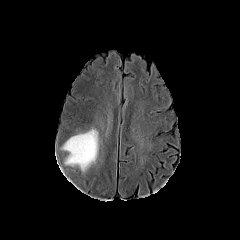
FLAIR MR.
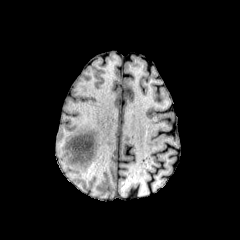
T1-weighted MR image of the same slice.
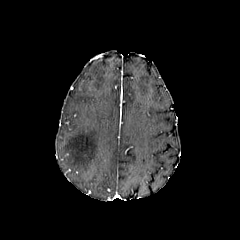
Post-contrast T1-weighted MRI of the same slice.
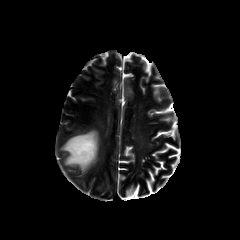
T2-weighted MR of the same slice.
Axial plane. Brain. 240x240 px.
The peritumoral edema is at x1=62 y1=129 x2=98 y2=172.